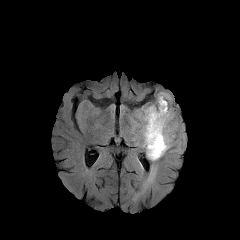
FLAIR MR image.
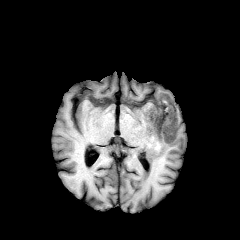
T1-weighted magnetic resonance.
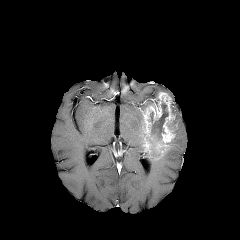
Post-contrast T1-weighted MR image.
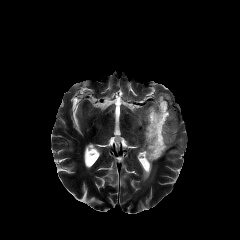
T2-weighted MR image.
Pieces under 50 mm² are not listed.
peritumoral edema: 133,105,161,181; 168,129,179,149
necrotic tumor core: 151,103,168,141; 149,140,160,156
enhancing tumor: 143,92,177,156